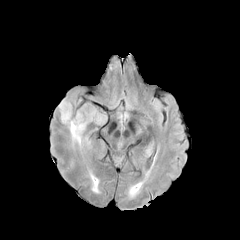
FLAIR MR.
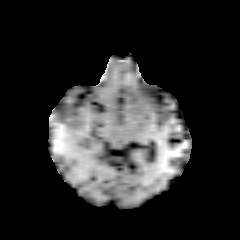
T1-weighted MR.
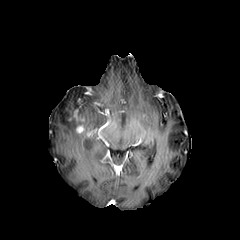
Post-contrast T1-weighted MRI of the same slice.
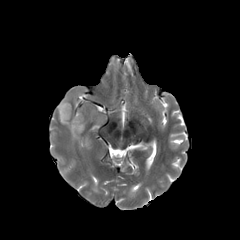
T2-weighted MR image of the same slice.
240x240.
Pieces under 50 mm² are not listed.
* enhancing tumor: box(76, 124, 84, 132)
* peritumoral edema: box(58, 99, 86, 144)